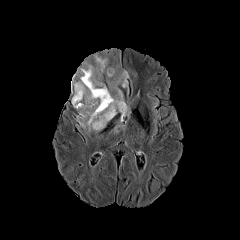
FLAIR MRI.
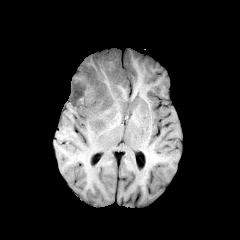
T1-weighted MR of the same slice.
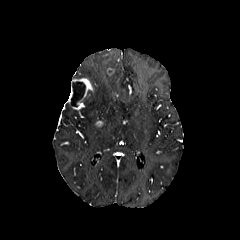
Post-contrast T1-weighted magnetic resonance of the same slice.
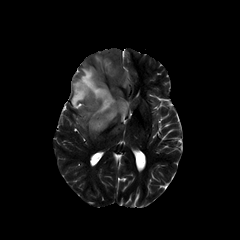
Same slice, T2-weighted MR.
Axial slice; Head; Image size 240x240
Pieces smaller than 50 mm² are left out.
{
  "enhancing_tumor": [
    "region(104, 58, 115, 76)",
    "region(69, 78, 94, 110)",
    "region(95, 120, 103, 127)"
  ],
  "necrotic_tumor_core": [
    "region(71, 82, 85, 106)"
  ],
  "peritumoral_edema": [
    "region(74, 48, 129, 132)"
  ]
}